FLAIR MR image.
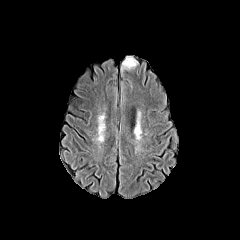
T1-weighted MR image.
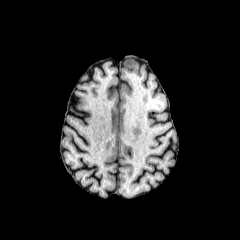
Post-contrast T1-weighted magnetic resonance.
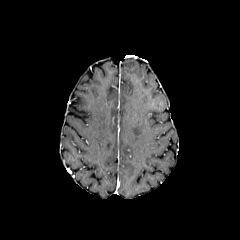
T2-weighted MR image.
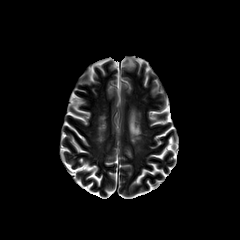
Axial view
peritumoral_edema:
  - bbox=[121, 56, 137, 71]